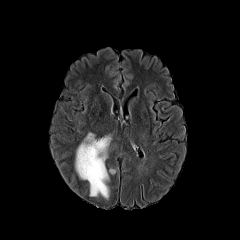
FLAIR MR.
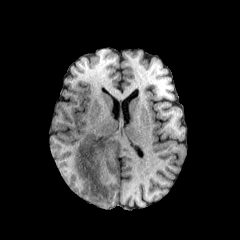
T1-weighted MR image.
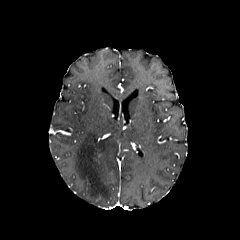
Same slice, post-contrast T1-weighted MR image.
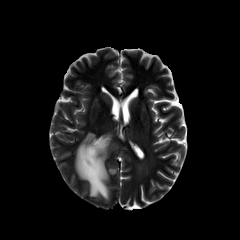
Same slice, T2-weighted MRI.
Head, Axial slice
<segmentation>
  <peritumoral_edema>(75,133,111,198)</peritumoral_edema>
</segmentation>